Head, 240x240 px, Slice 89 of 155, Axial plane
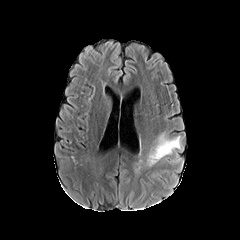
FLAIR MR.
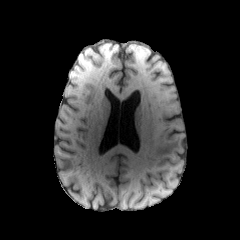
Same slice, T1-weighted magnetic resonance.
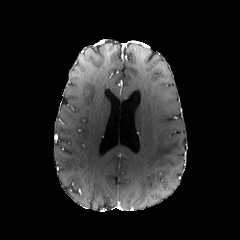
Post-contrast T1-weighted MR.
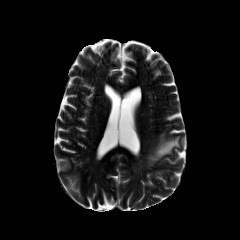
Same slice, T2-weighted MRI.
peritumoral edema — <bbox>147, 131, 183, 165</bbox>